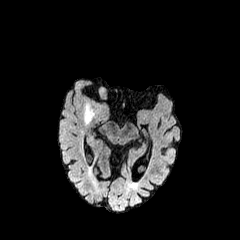
FLAIR MRI.
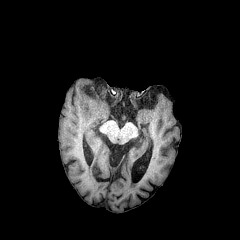
T1-weighted magnetic resonance.
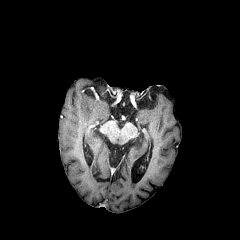
Same slice, post-contrast T1-weighted MR image.
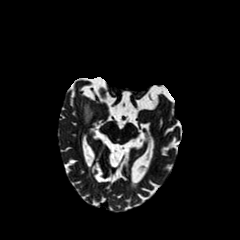
T2-weighted magnetic resonance of the same slice.
Image size 240x240 | Brain
peritumoral edema: (84,105,94,123)